FLAIR MRI.
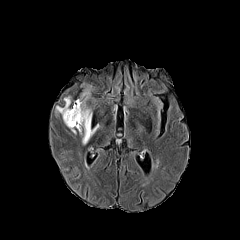
T1-weighted MRI.
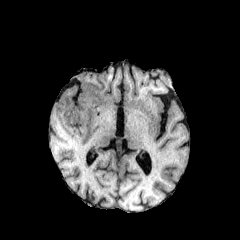
Post-contrast T1-weighted MR.
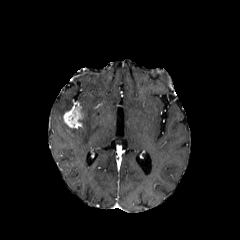
T2-weighted MRI.
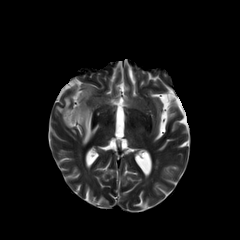
Axial slice, 240x240 px, Brain
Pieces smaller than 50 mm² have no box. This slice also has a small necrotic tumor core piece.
enhancing tumor: (x1=64, y1=101, x2=82, y2=129) | peritumoral edema: (x1=55, y1=97, x2=71, y2=120), (x1=77, y1=87, x2=98, y2=144)